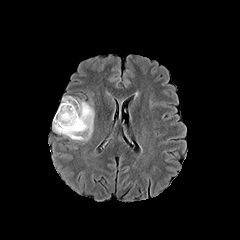
FLAIR MRI.
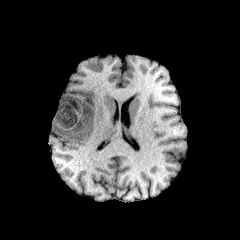
T1-weighted MR.
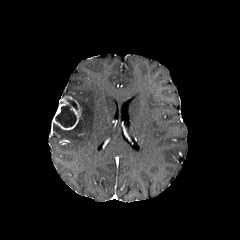
Post-contrast T1-weighted MR.
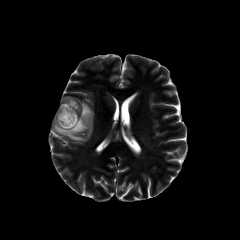
Same slice, T2-weighted magnetic resonance.
Brain
peritumoral edema: [53,99,94,141] | necrotic tumor core: [55,105,76,127], [67,99,77,109] | enhancing tumor: [53,96,81,130]